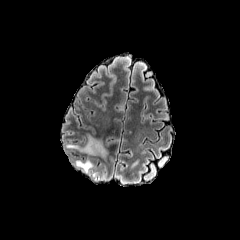
FLAIR MR.
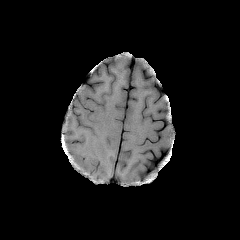
T1-weighted MR image.
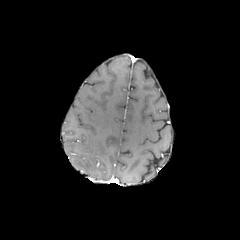
Post-contrast T1-weighted magnetic resonance.
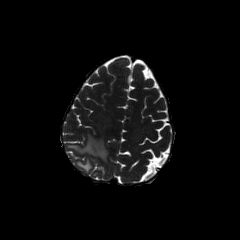
T2-weighted MR.
Axial plane; Brain; Image size 240x240
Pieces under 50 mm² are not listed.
The 2 largest peritumoral edema regions are bounded by (left=75, top=160, right=91, bottom=173), (left=67, top=135, right=107, bottom=159).